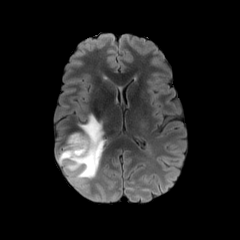
FLAIR magnetic resonance.
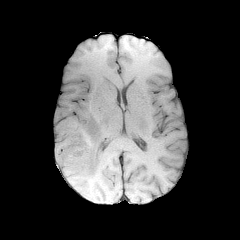
T1-weighted MR image.
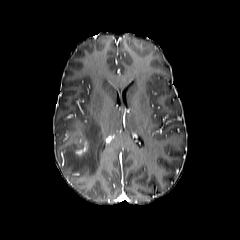
Post-contrast T1-weighted MR of the same slice.
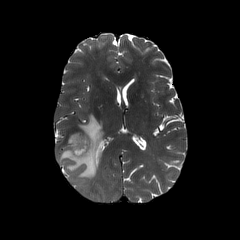
T2-weighted magnetic resonance.
240x240. Brain.
The enhancing tumor is at [75,139,88,156]. The peritumoral edema is bounded by [56,114,104,180].